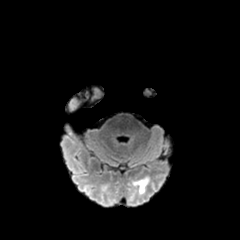
FLAIR MR.
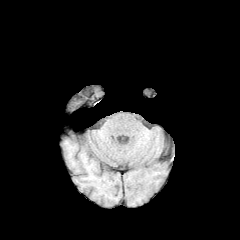
T1-weighted MR of the same slice.
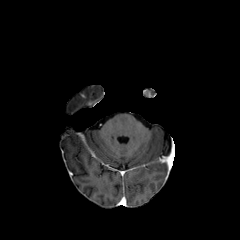
Post-contrast T1-weighted MRI of the same slice.
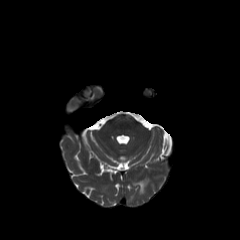
T2-weighted MR image of the same slice.
Brain.
peritumoral edema: l=134, t=179, r=148, b=193